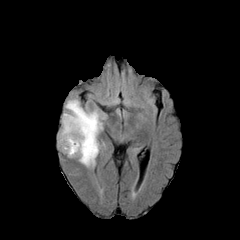
FLAIR MR image.
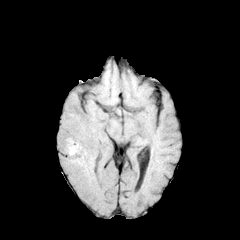
T1-weighted MR.
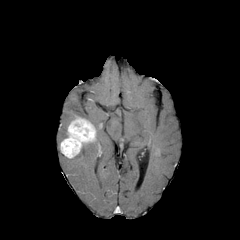
Post-contrast T1-weighted MR.
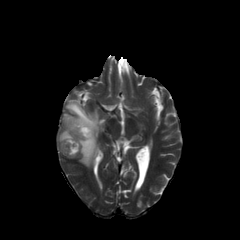
T2-weighted MRI of the same slice.
240x240 px.
<segmentation>
  <enhancing_tumor>60:117:96:158</enhancing_tumor>
  <peritumoral_edema>59:99:105:167</peritumoral_edema>
</segmentation>